Head. Image width 240 mm. 240x240.
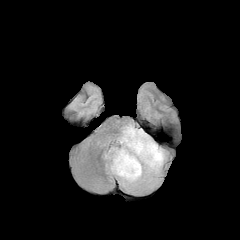
FLAIR MR.
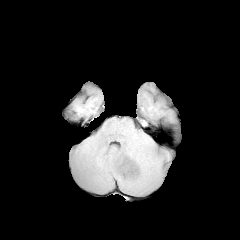
T1-weighted magnetic resonance.
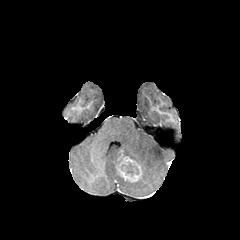
Same slice, post-contrast T1-weighted MRI.
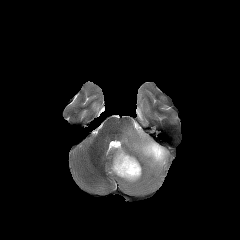
Same slice, T2-weighted MRI.
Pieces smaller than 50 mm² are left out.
The largest enhancing tumor region is located at {"x1": 115, "y1": 153, "x2": 141, "y2": 181}. The necrotic tumor core lies within {"x1": 121, "y1": 163, "x2": 138, "y2": 174}. The peritumoral edema lies within {"x1": 104, "y1": 124, "x2": 167, "y2": 193}.